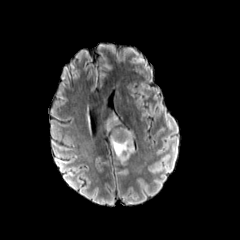
FLAIR MRI.
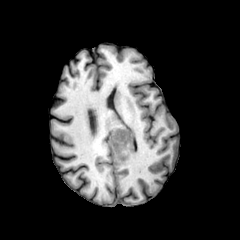
T1-weighted magnetic resonance of the same slice.
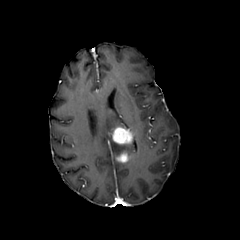
Same slice, post-contrast T1-weighted MR image.
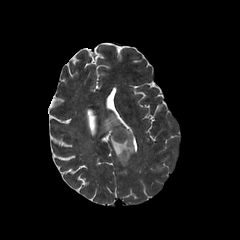
T2-weighted MR.
Axial view.
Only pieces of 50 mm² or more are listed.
{"enhancing_tumor": ["x1=116, y1=151, x2=131, y2=162", "x1=112, y1=125, x2=134, y2=145"], "peritumoral_edema": ["x1=105, y1=116, x2=133, y2=160"]}